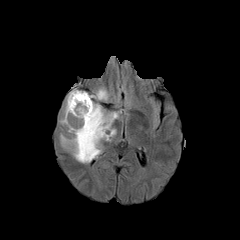
FLAIR MR.
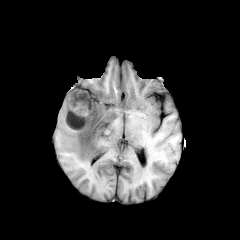
Same slice, T1-weighted MRI.
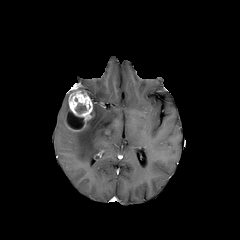
Post-contrast T1-weighted MR of the same slice.
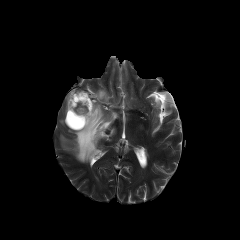
Same slice, T2-weighted MRI.
240x240 px | Brain | Axial slice
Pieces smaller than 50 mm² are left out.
Annotated regions:
- enhancing tumor: 65 88 92 131
- necrotic tumor core: 76 105 86 112, 67 111 84 129
- peritumoral edema: 60 101 118 163, 60 89 72 124, 89 87 108 101